Head.
FLAIR MR image.
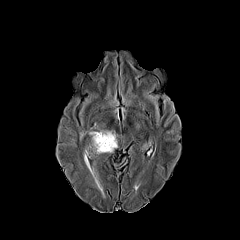
T1-weighted magnetic resonance.
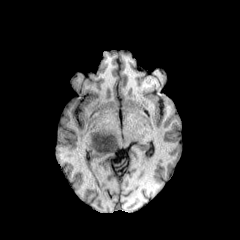
Post-contrast T1-weighted MRI.
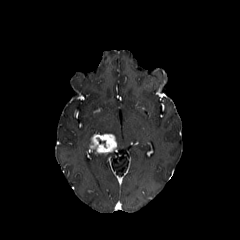
T2-weighted MR image.
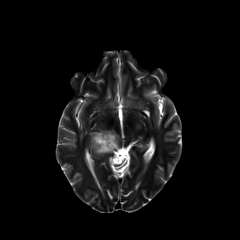
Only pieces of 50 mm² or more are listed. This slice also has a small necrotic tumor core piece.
peritumoral edema: bounding box <bbox>79, 130, 117, 142</bbox>
enhancing tumor: bounding box <bbox>89, 135, 116, 153</bbox>